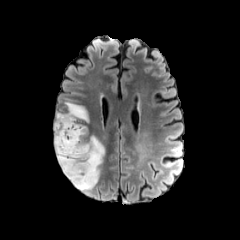
FLAIR MR.
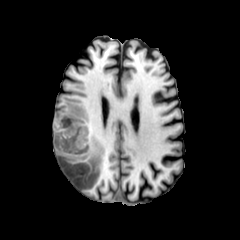
T1-weighted MR image.
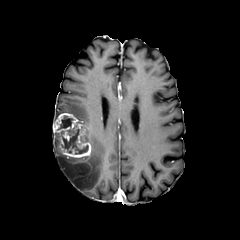
Post-contrast T1-weighted magnetic resonance of the same slice.
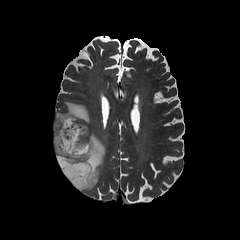
T2-weighted magnetic resonance.
Brain.
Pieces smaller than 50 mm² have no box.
peritumoral edema — l=55, t=101, r=91, b=126; l=54, t=132, r=105, b=192
enhancing tumor — l=53, t=113, r=91, b=158
necrotic tumor core — l=56, t=127, r=88, b=154; l=57, t=114, r=73, b=130